Slice 103/155 | Brain | Image size 240x240
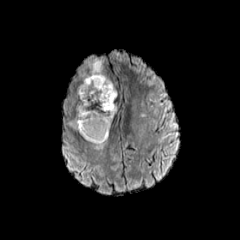
FLAIR MR.
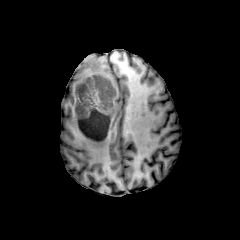
T1-weighted MRI.
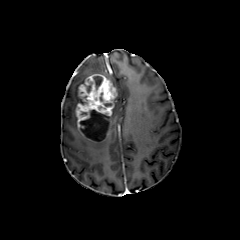
Same slice, post-contrast T1-weighted MR.
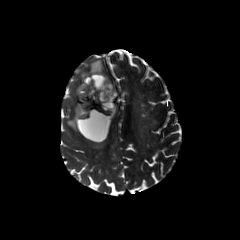
T2-weighted MR of the same slice.
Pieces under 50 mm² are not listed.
<segmentation>
  <enhancing_tumor>(x1=76, y1=74, x2=116, y2=141)</enhancing_tumor>
  <necrotic_tumor_core>(x1=80, y1=109, x2=109, y2=141), (x1=93, y1=76, x2=102, y2=89)</necrotic_tumor_core>
  <peritumoral_edema>(x1=69, y1=117, x2=77, y2=129), (x1=81, y1=58, x2=108, y2=83), (x1=90, y1=139, x2=106, y2=148)</peritumoral_edema>
</segmentation>